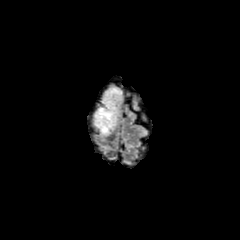
FLAIR MRI.
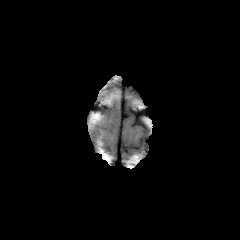
T1-weighted magnetic resonance.
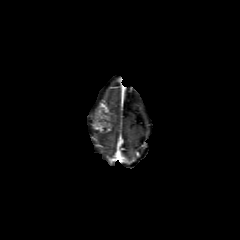
Same slice, post-contrast T1-weighted magnetic resonance.
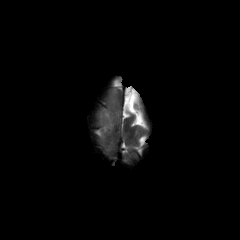
Same slice, T2-weighted MR image.
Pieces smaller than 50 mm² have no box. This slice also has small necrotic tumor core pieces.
The enhancing tumor is at [x1=94, y1=102, x2=113, y2=133]. The largest peritumoral edema region lies within [x1=102, y1=91, x2=117, y2=130].